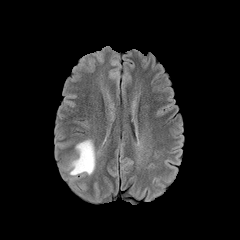
FLAIR MR.
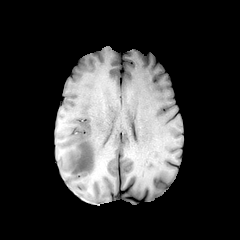
Same slice, T1-weighted MRI.
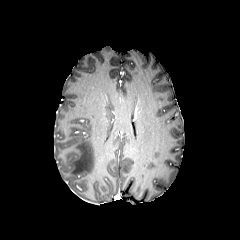
Post-contrast T1-weighted MR.
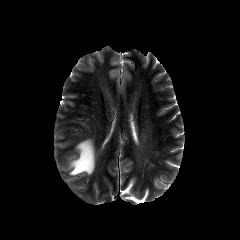
T2-weighted MR image of the same slice.
240x240; Brain
Annotated regions:
* peritumoral edema: l=69, t=139, r=95, b=175